Axial view, Image size 240x240, Brain, Slice 126 of 155
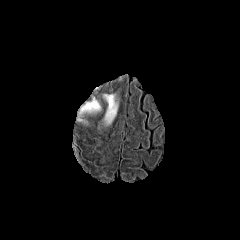
FLAIR MR image.
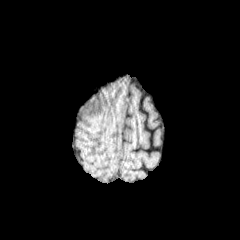
T1-weighted MR.
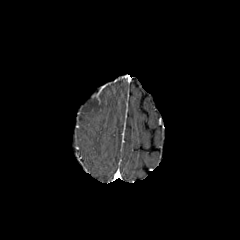
Post-contrast T1-weighted MR of the same slice.
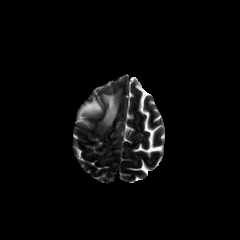
T2-weighted magnetic resonance.
peritumoral edema at [98, 92, 119, 128], [76, 96, 101, 124]